Axial slice, Image width 240 mm, 1.00 mm slice spacing, Brain
FLAIR MR.
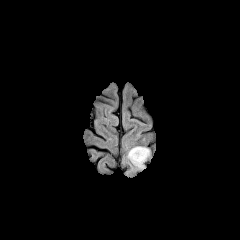
T1-weighted magnetic resonance.
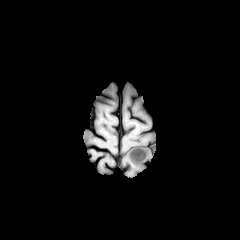
Post-contrast T1-weighted MR image.
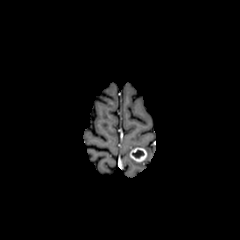
T2-weighted MRI.
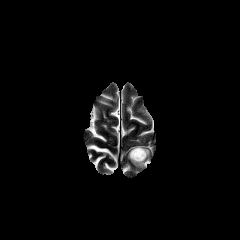
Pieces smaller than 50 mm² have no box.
peritumoral edema: {"x1": 136, "y1": 146, "x2": 152, "y2": 161}, {"x1": 121, "y1": 149, "x2": 146, "y2": 176} | enhancing tumor: {"x1": 129, "y1": 147, "x2": 147, "y2": 162} | necrotic tumor core: {"x1": 132, "y1": 150, "x2": 144, "y2": 157}